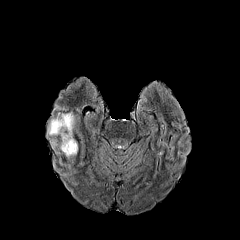
FLAIR magnetic resonance.
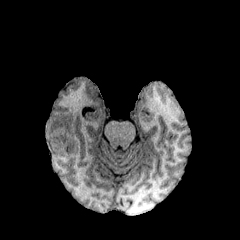
T1-weighted magnetic resonance.
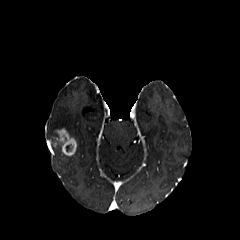
Same slice, post-contrast T1-weighted magnetic resonance.
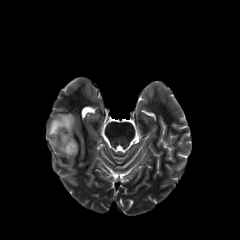
Same slice, T2-weighted MR.
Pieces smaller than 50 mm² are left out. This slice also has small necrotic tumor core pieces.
{
  "enhancing_tumor": [
    "left=51, top=128, right=77, bottom=156"
  ],
  "peritumoral_edema": [
    "left=47, top=112, right=74, bottom=136"
  ]
}